FLAIR MR.
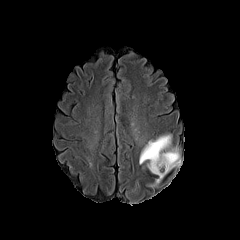
T1-weighted magnetic resonance.
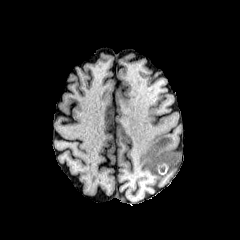
Post-contrast T1-weighted MR.
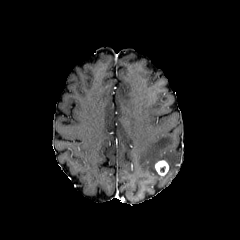
T2-weighted MRI.
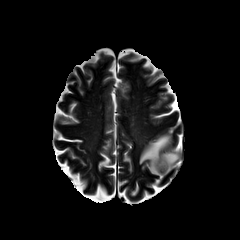
Brain.
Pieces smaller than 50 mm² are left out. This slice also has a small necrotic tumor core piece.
<segmentation>
  <peritumoral_edema>(139,134,180,184)</peritumoral_edema>
  <enhancing_tumor>(155,160,168,176)</enhancing_tumor>
</segmentation>